FLAIR MRI.
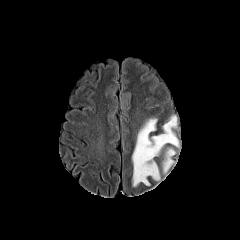
T1-weighted magnetic resonance.
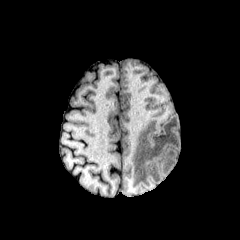
Post-contrast T1-weighted magnetic resonance.
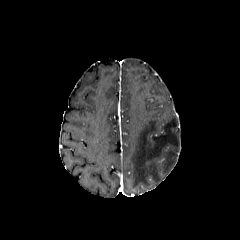
T2-weighted magnetic resonance.
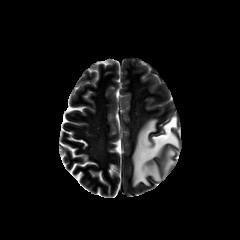
Head
<segmentation>
  <peritumoral_edema>rect(132, 115, 179, 186); rect(162, 148, 175, 175)</peritumoral_edema>
</segmentation>